FLAIR MR image.
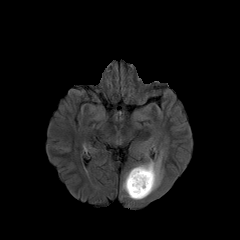
T1-weighted MR.
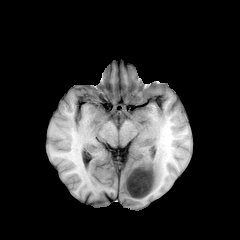
Post-contrast T1-weighted magnetic resonance.
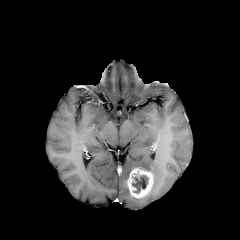
T2-weighted MRI.
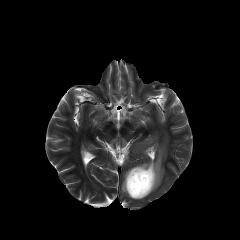
Head, Axial slice
{"peritumoral_edema": ["x1=122 y1=150 x2=163 y2=200"], "enhancing_tumor": ["x1=126 y1=167 x2=154 y2=198"], "necrotic_tumor_core": ["x1=132 y1=175 x2=148 y2=193"]}